FLAIR MRI.
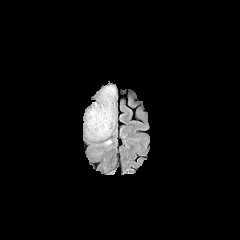
T1-weighted MR.
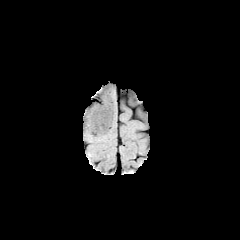
Post-contrast T1-weighted MRI.
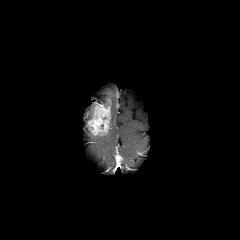
T2-weighted MRI.
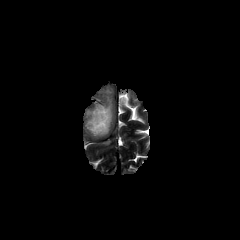
Image size 240x240
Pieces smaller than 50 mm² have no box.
enhancing tumor — <bbox>85, 97, 111, 137</bbox>
peritumoral edema — <bbox>84, 102, 94, 135</bbox>, <bbox>89, 86, 114, 138</bbox>